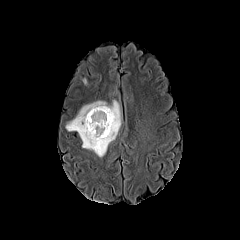
FLAIR MRI.
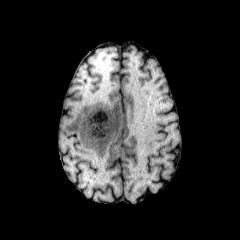
Same slice, T1-weighted MRI.
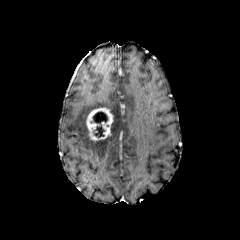
Post-contrast T1-weighted magnetic resonance.
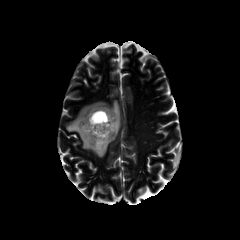
Same slice, T2-weighted MR image.
Axial view, Brain
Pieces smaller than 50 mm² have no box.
Annotated regions:
- peritumoral edema: x1=66 y1=100 x2=121 y2=157
- necrotic tumor core: x1=93 y1=111 x2=107 y2=137
- enhancing tumor: x1=86 y1=107 x2=113 y2=141